Axial slice. 240x240. Slice 57 of 155.
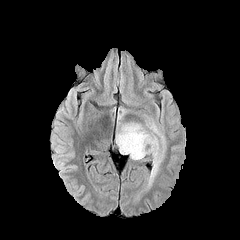
FLAIR magnetic resonance.
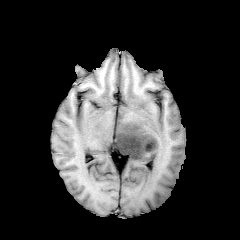
T1-weighted MR.
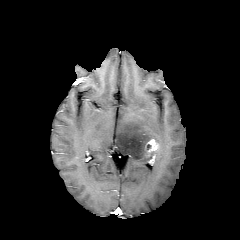
Post-contrast T1-weighted MR of the same slice.
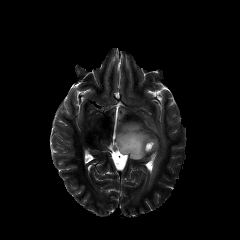
T2-weighted MR of the same slice.
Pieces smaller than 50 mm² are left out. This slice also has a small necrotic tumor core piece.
peritumoral edema at [115,108,165,181]
enhancing tumor at [145,139,159,152]